FLAIR magnetic resonance.
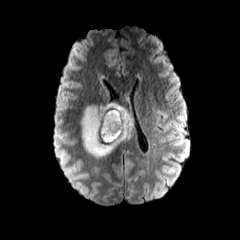
T1-weighted magnetic resonance.
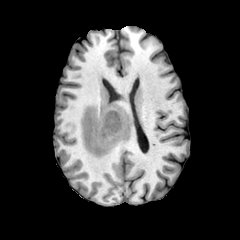
Post-contrast T1-weighted MRI.
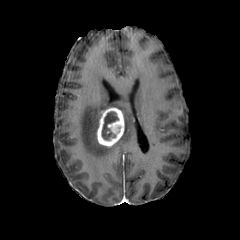
T2-weighted magnetic resonance.
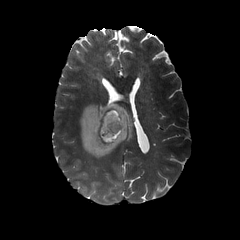
Image size 240x240 | Head | Axial plane
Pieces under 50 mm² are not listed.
enhancing tumor = x1=96, y1=107, x2=124, y2=147
necrotic tumor core = x1=101, y1=111, x2=119, y2=141
peritumoral edema = x1=98, y1=74, x2=108, y2=101; x1=81, y1=101, x2=134, y2=158